Slice 69/155. Brain.
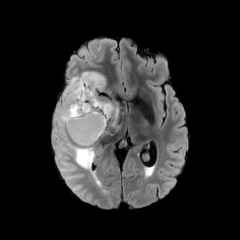
FLAIR MR.
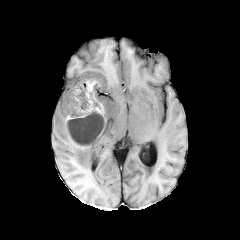
T1-weighted MR image.
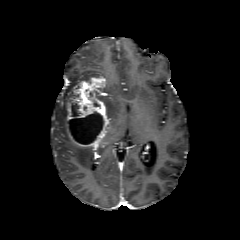
Same slice, post-contrast T1-weighted MR image.
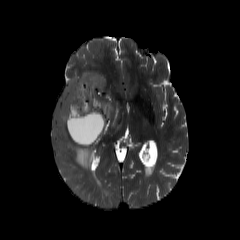
T2-weighted magnetic resonance of the same slice.
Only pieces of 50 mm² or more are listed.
The enhancing tumor lies within <box>66,76,108,150</box>. The 2 largest necrotic tumor core regions are bounded by <box>68,112,103,144</box>, <box>71,100,79,116</box>. The 2 largest peritumoral edema regions are located at <box>102,100,118,125</box>, <box>54,72,101,169</box>.